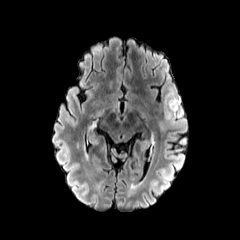
FLAIR MR image.
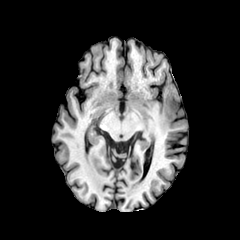
Same slice, T1-weighted MR image.
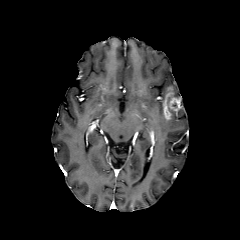
Post-contrast T1-weighted MR of the same slice.
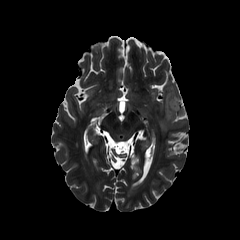
T2-weighted MR.
Brain. 240x240. Axial slice.
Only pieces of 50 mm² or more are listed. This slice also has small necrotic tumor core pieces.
enhancing tumor: bounding box 163 86 181 120
peritumoral edema: bounding box 159 107 185 130, 164 83 179 96